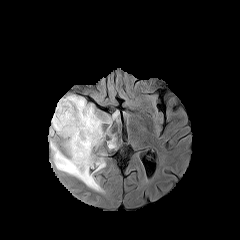
FLAIR MRI.
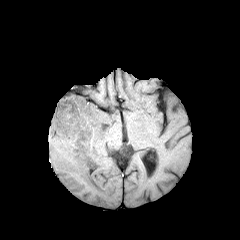
T1-weighted MR.
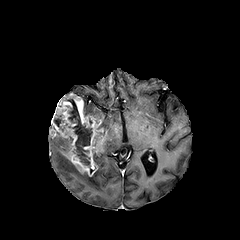
Post-contrast T1-weighted MRI.
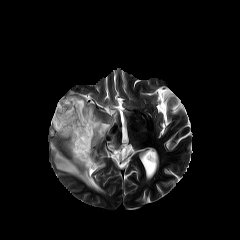
T2-weighted MRI.
Axial slice | Brain
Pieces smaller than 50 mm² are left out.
enhancing tumor: 49:93:106:176 | necrotic tumor core: 54:118:63:130, 67:99:92:165 | peritumoral edema: 93:153:105:171, 101:113:117:134, 81:97:102:118, 50:136:104:192, 107:136:116:149